FLAIR MR image.
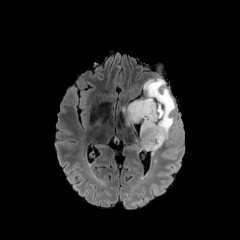
T1-weighted magnetic resonance.
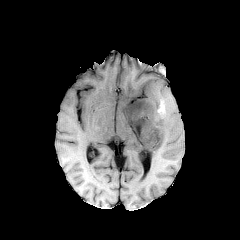
Post-contrast T1-weighted magnetic resonance.
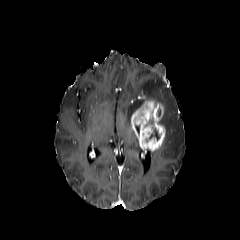
T2-weighted MR image.
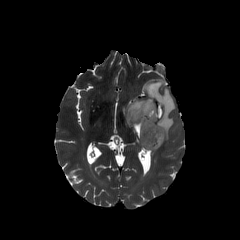
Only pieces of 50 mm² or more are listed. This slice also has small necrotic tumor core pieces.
{"enhancing_tumor": ["l=131, t=99, r=165, b=151"], "peritumoral_edema": ["l=124, t=79, r=175, b=143"]}